Axial slice. Head. 240x240 px.
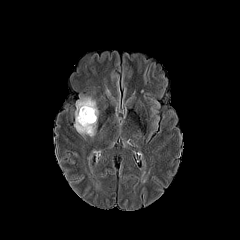
FLAIR MRI.
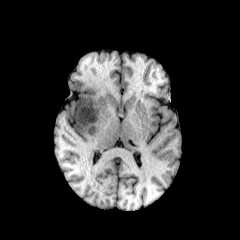
Same slice, T1-weighted magnetic resonance.
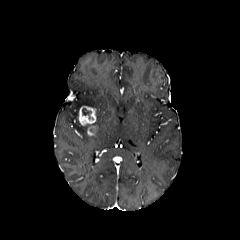
Post-contrast T1-weighted MR of the same slice.
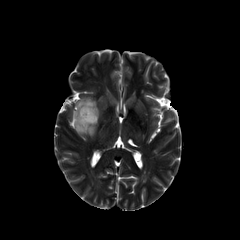
T2-weighted MR image.
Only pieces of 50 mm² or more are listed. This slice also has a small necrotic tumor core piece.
<segmentation>
  <peritumoral_edema>74 97 98 134</peritumoral_edema>
  <enhancing_tumor>78 106 96 135</enhancing_tumor>
</segmentation>